Image size 240x240; Head
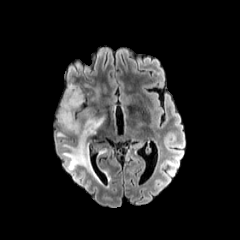
FLAIR MR.
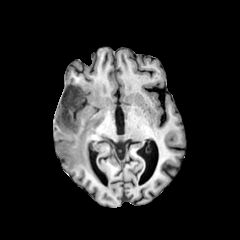
Same slice, T1-weighted MRI.
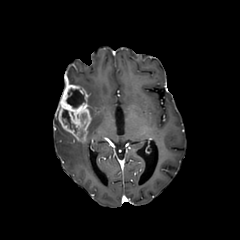
Post-contrast T1-weighted MRI.
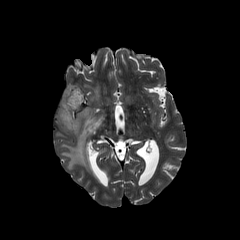
T2-weighted magnetic resonance of the same slice.
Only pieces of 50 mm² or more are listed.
{
  "enhancing_tumor": [
    "57,84,91,143"
  ],
  "peritumoral_edema": [
    "87,115,103,136",
    "62,142,97,179"
  ],
  "necrotic_tumor_core": [
    "62,110,77,133",
    "66,89,85,107"
  ]
}